Axial slice
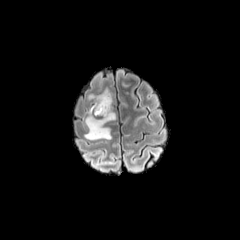
FLAIR MR image.
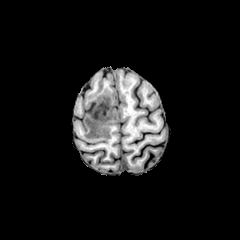
T1-weighted MR of the same slice.
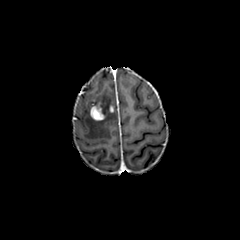
Post-contrast T1-weighted MR image.
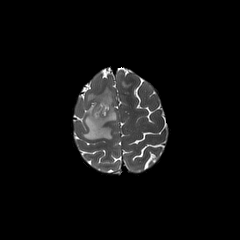
T2-weighted magnetic resonance of the same slice.
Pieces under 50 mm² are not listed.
peritumoral_edema:
  - [121,77,134,86]
  - [83,87,116,139]
enhancing_tumor:
  - [90,102,107,120]